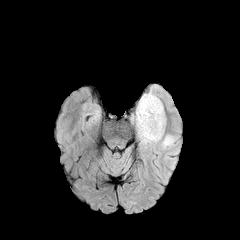
FLAIR magnetic resonance.
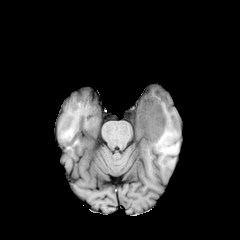
Same slice, T1-weighted MRI.
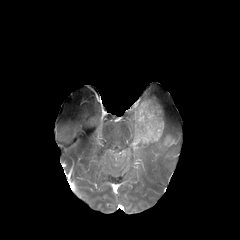
Post-contrast T1-weighted MR image.
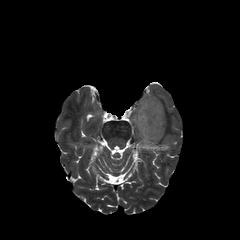
Same slice, T2-weighted MR image.
Head | 240x240
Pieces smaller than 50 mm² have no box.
The enhancing tumor is located at <box>134,99,163,143</box>. The largest peritumoral edema region appears at <box>138,88,174,150</box>.